FLAIR magnetic resonance.
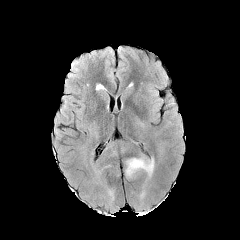
T1-weighted MR.
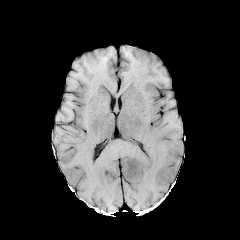
Post-contrast T1-weighted magnetic resonance.
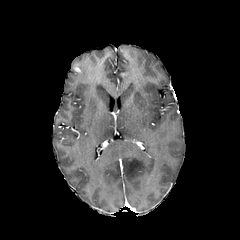
T2-weighted MRI.
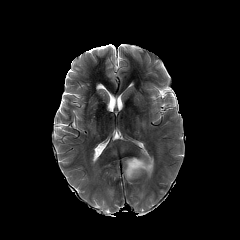
Axial view. Brain. 240x240.
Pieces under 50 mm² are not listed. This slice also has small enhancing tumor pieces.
peritumoral_edema:
  - (left=125, top=157, right=154, bottom=178)